FLAIR MRI.
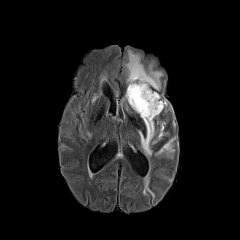
T1-weighted MR.
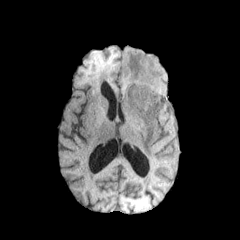
Post-contrast T1-weighted MR.
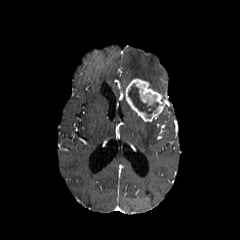
T2-weighted MR image.
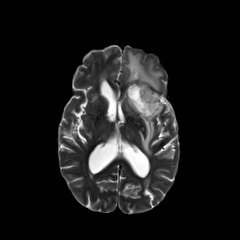
Head | Axial slice
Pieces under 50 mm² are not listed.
necrotic tumor core: bounding box 128 84 158 118
enhancing tumor: bounding box 125 78 167 121
peritumoral edema: bounding box 164 140 174 158, 125 50 162 90, 139 120 155 157